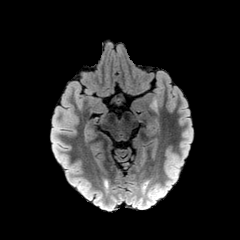
FLAIR magnetic resonance.
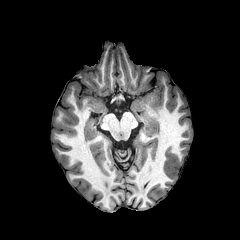
T1-weighted MR image.
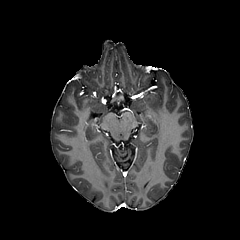
Post-contrast T1-weighted MR image.
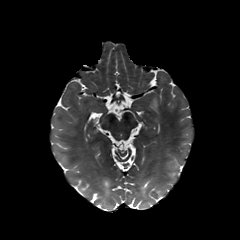
T2-weighted MRI.
Axial view; Head
The peritumoral edema is at box=[149, 97, 157, 111].